Head.
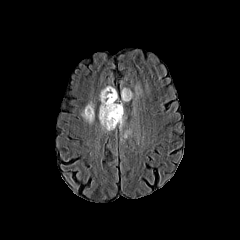
FLAIR MR image.
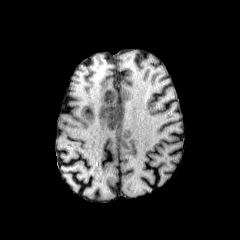
T1-weighted MR image.
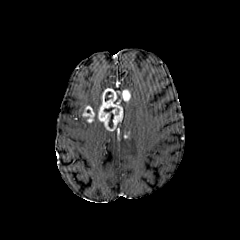
Same slice, post-contrast T1-weighted MR.
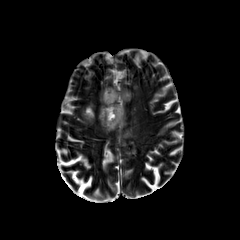
T2-weighted MRI.
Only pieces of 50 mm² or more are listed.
enhancing tumor = left=121, top=90, right=130, bottom=101; left=98, top=88, right=123, bottom=130; left=80, top=105, right=95, bottom=122
necrotic tumor core = left=109, top=113, right=113, bottom=128
peritumoral edema = left=119, top=107, right=126, bottom=141